FLAIR MR.
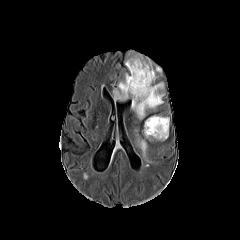
T1-weighted MRI.
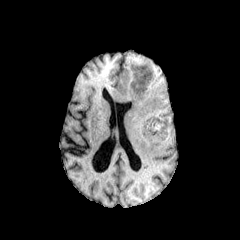
Post-contrast T1-weighted MR.
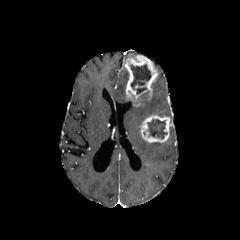
T2-weighted magnetic resonance.
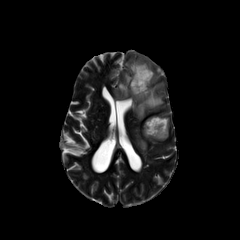
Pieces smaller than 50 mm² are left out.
peritumoral edema: rect(137, 138, 147, 156); rect(131, 82, 164, 119); rect(125, 52, 138, 59); rect(113, 72, 128, 101) | enhancing tumor: rect(125, 55, 158, 106); rect(140, 115, 171, 142) | necrotic tumor core: rect(130, 64, 151, 89); rect(147, 119, 167, 139)